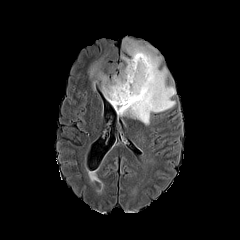
FLAIR MR.
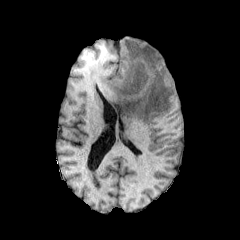
T1-weighted magnetic resonance of the same slice.
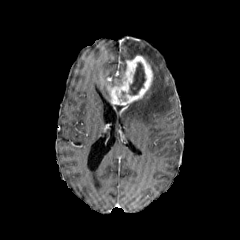
Post-contrast T1-weighted magnetic resonance.
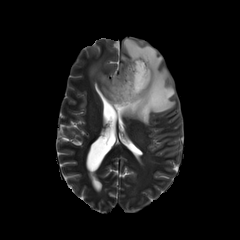
T2-weighted MR image.
Brain
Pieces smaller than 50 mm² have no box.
peritumoral edema at 87 57 125 101, 121 36 175 124
necrotic tumor core at 128 62 145 95
enhancing tumor at 107 55 152 113